FLAIR MRI.
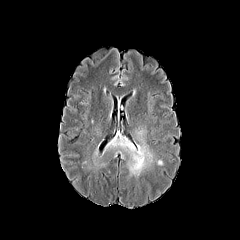
T1-weighted MRI.
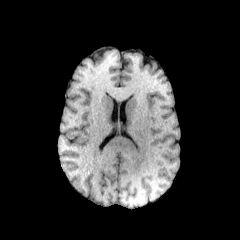
Post-contrast T1-weighted MRI.
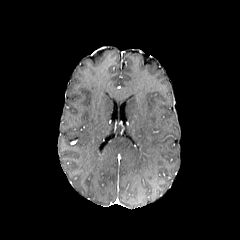
T2-weighted MR.
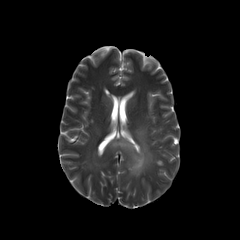
Image size 240x240. Head.
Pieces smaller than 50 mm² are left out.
The 2 largest peritumoral edema regions are bounded by <bbox>91, 145, 107, 169</bbox>, <bbox>105, 124, 156, 178</bbox>.